FLAIR MRI.
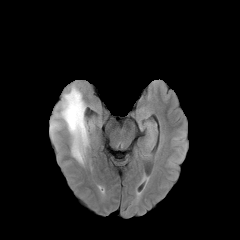
T1-weighted MR image.
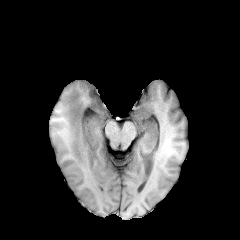
Post-contrast T1-weighted MR image.
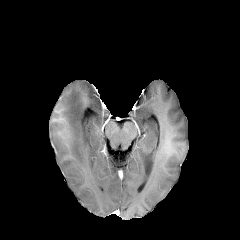
T2-weighted magnetic resonance.
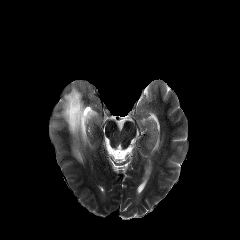
Brain | 240x240 px
peritumoral edema = [61, 85, 89, 164]